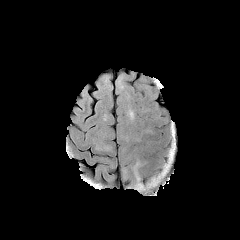
FLAIR MR.
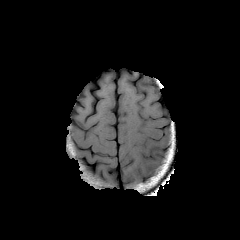
Same slice, T1-weighted magnetic resonance.
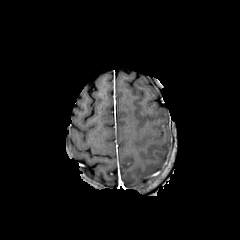
Post-contrast T1-weighted MR image.
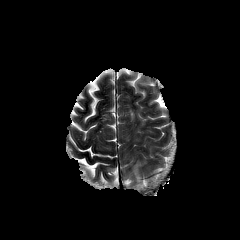
T2-weighted MRI.
Head.
The peritumoral edema lies within 133:161:141:185.